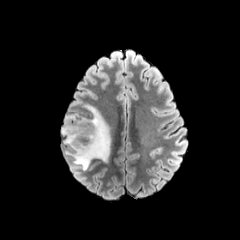
FLAIR magnetic resonance.
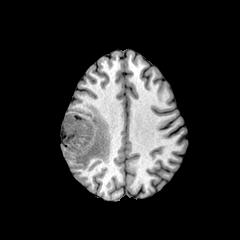
T1-weighted MR image.
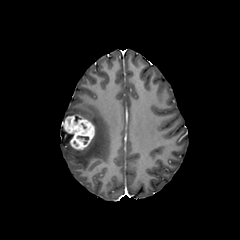
Post-contrast T1-weighted MR of the same slice.
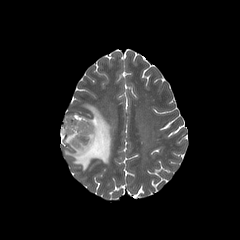
T2-weighted magnetic resonance of the same slice.
Brain, Axial slice
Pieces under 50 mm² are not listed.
The peritumoral edema is at bbox=[61, 104, 110, 170]. The enhancing tumor lies within bbox=[62, 114, 95, 151]. The largest necrotic tumor core region is bounded by bbox=[77, 134, 88, 144].